240x240, Brain, Axial slice
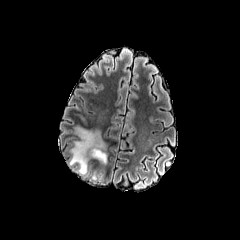
FLAIR magnetic resonance.
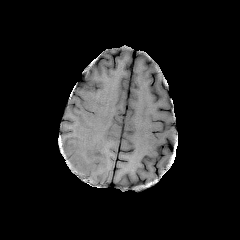
T1-weighted magnetic resonance.
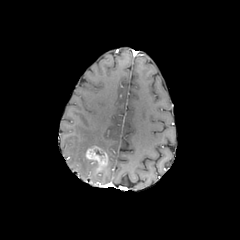
Post-contrast T1-weighted MR.
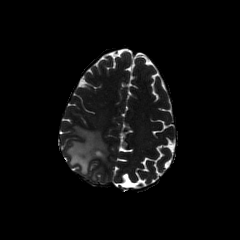
T2-weighted magnetic resonance.
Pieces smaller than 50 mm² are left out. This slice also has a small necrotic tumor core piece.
{"enhancing_tumor": ["85:145:107:170"], "peritumoral_edema": ["68:127:108:174"]}